FLAIR MR.
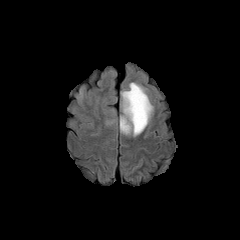
T1-weighted MR.
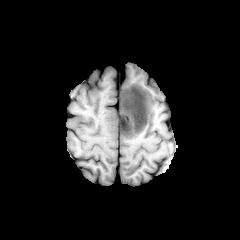
Post-contrast T1-weighted magnetic resonance.
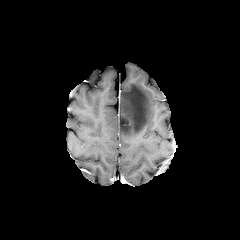
T2-weighted MR.
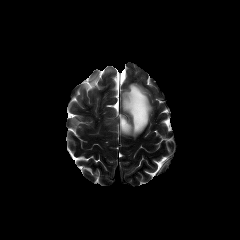
Head | Axial slice
<segmentation>
  <peritumoral_edema>(x1=120, y1=82, x2=153, y2=136)</peritumoral_edema>
</segmentation>